FLAIR MR image.
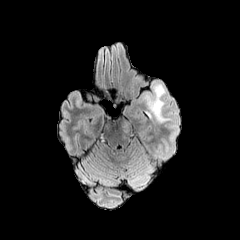
T1-weighted MR image.
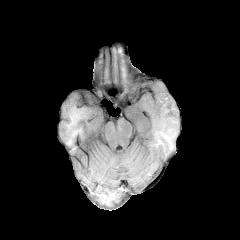
Post-contrast T1-weighted MR image.
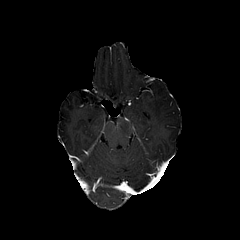
T2-weighted MR image.
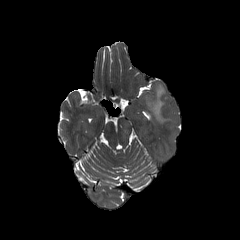
240x240 | Axial slice
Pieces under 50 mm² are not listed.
peritumoral edema = region(122, 119, 133, 134); region(146, 84, 168, 122)